FLAIR MRI.
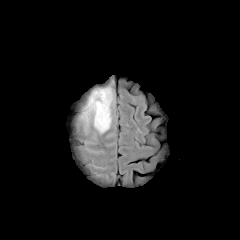
T1-weighted magnetic resonance.
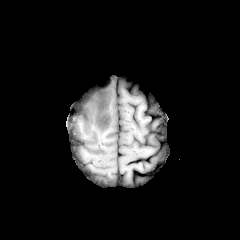
Post-contrast T1-weighted MRI.
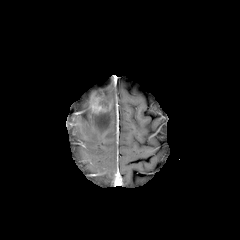
T2-weighted MR.
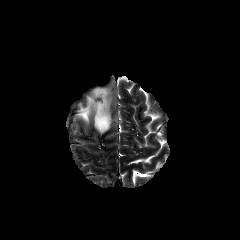
Findings:
• peritumoral edema: (left=68, top=78, right=117, bottom=133)
• enhancing tumor: (left=90, top=90, right=110, bottom=113)